FLAIR MRI.
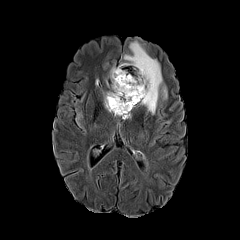
T1-weighted MRI.
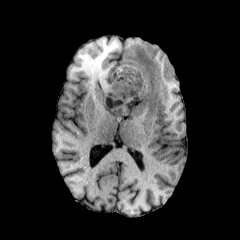
Post-contrast T1-weighted MR image.
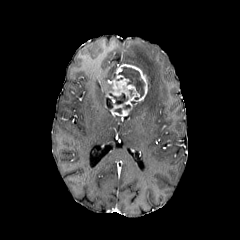
T2-weighted MR image.
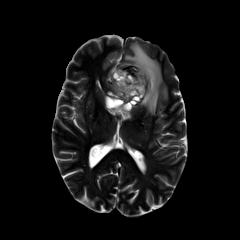
Head
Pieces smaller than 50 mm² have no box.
The 2 largest peritumoral edema regions are located at <bbox>122, 41, 162, 114</bbox>, <bbox>161, 86, 167, 99</bbox>. The largest enhancing tumor region lies within <bbox>105, 64, 147, 117</bbox>. The 3 largest necrotic tumor core regions appear at <bbox>109, 93, 128, 104</bbox>, <bbox>105, 97, 112, 109</bbox>, <bbox>118, 67, 144, 97</bbox>.